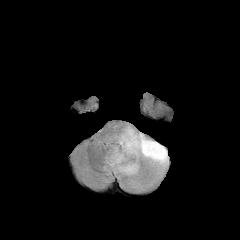
FLAIR MR image.
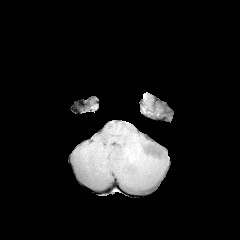
T1-weighted magnetic resonance of the same slice.
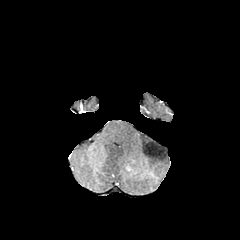
Same slice, post-contrast T1-weighted MR image.
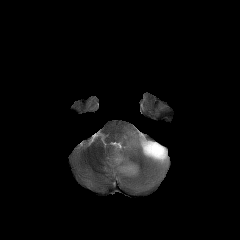
T2-weighted MRI.
Head | 240x240 | Axial plane
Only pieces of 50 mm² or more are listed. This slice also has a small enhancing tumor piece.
The peritumoral edema is at bbox(104, 125, 169, 190).